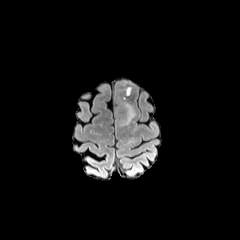
FLAIR MR image.
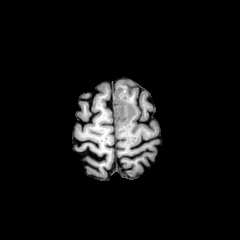
T1-weighted magnetic resonance of the same slice.
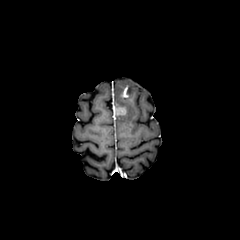
Same slice, post-contrast T1-weighted MR image.
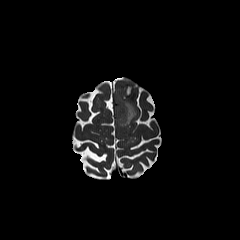
Same slice, T2-weighted MR image.
Axial view. 240x240. Brain.
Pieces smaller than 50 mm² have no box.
enhancing_tumor:
  - (121,85,132,98)
  - (115,106,126,115)
peritumoral_edema:
  - (116,96,136,126)